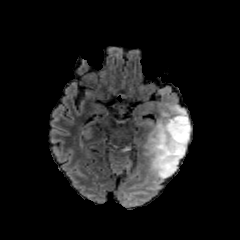
FLAIR MR.
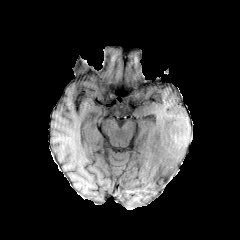
Same slice, T1-weighted MR.
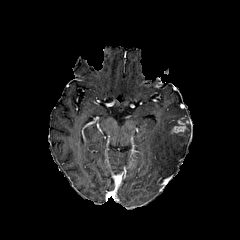
Post-contrast T1-weighted MRI.
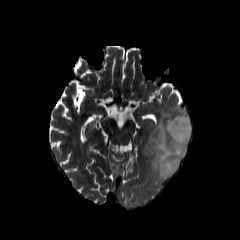
Same slice, T2-weighted magnetic resonance.
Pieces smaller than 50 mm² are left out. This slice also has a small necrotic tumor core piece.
The peritumoral edema is bounded by left=145, top=104, right=191, bottom=179. The enhancing tumor is at left=170, top=117, right=188, bottom=133.